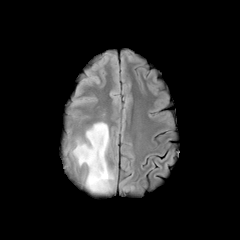
FLAIR magnetic resonance.
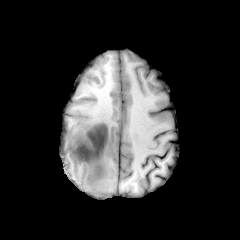
Same slice, T1-weighted MR.
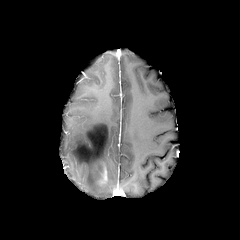
Post-contrast T1-weighted magnetic resonance.
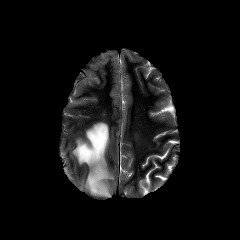
T2-weighted magnetic resonance of the same slice.
240x240, Head
• peritumoral edema: 72,122,114,193
• enhancing tumor: 100,166,106,182